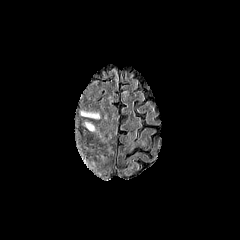
FLAIR MR.
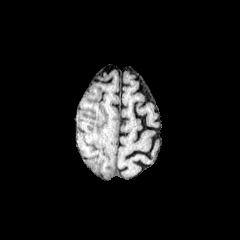
T1-weighted MR image.
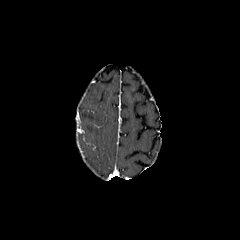
Post-contrast T1-weighted magnetic resonance.
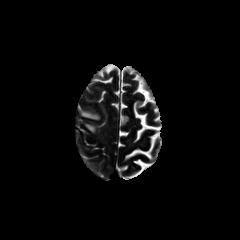
T2-weighted MRI.
240x240
peritumoral_edema:
  - (left=85, top=123, right=95, bottom=131)
  - (left=81, top=111, right=99, bottom=119)